Head. Axial slice. Slice 89 of 155.
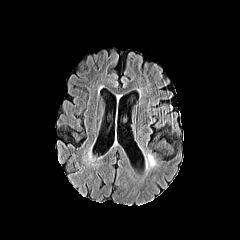
FLAIR magnetic resonance.
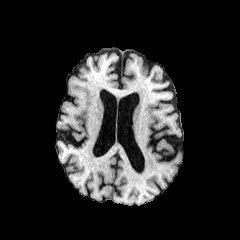
T1-weighted MRI.
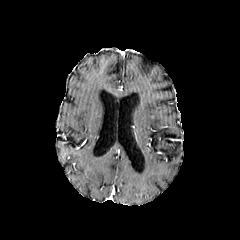
Post-contrast T1-weighted magnetic resonance of the same slice.
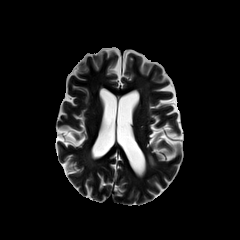
T2-weighted MR image of the same slice.
The peritumoral edema is at rect(148, 154, 155, 166).